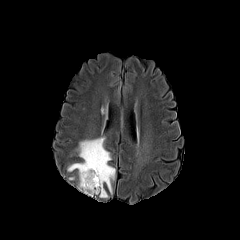
FLAIR MR.
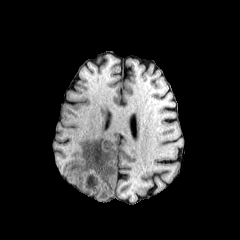
T1-weighted magnetic resonance of the same slice.
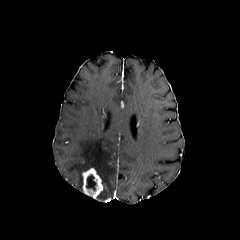
Post-contrast T1-weighted MR of the same slice.
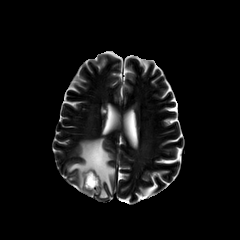
T2-weighted MR image.
Head, Axial view
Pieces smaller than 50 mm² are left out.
<segmentation>
  <enhancing_tumor>[82, 168, 103, 197]</enhancing_tumor>
  <peritumoral_edema>[67, 137, 115, 194], [99, 189, 108, 198]</peritumoral_edema>
  <necrotic_tumor_core>[86, 175, 96, 190]</necrotic_tumor_core>
</segmentation>